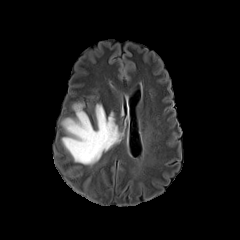
FLAIR MR.
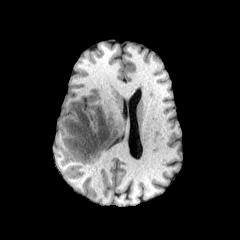
T1-weighted MR image.
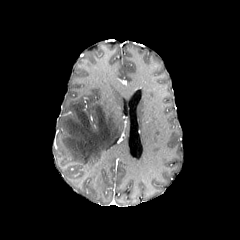
Same slice, post-contrast T1-weighted MRI.
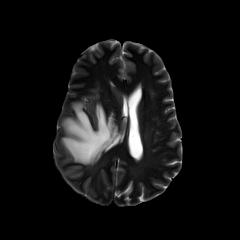
Same slice, T2-weighted MR image.
Head. 240x240.
Findings:
• peritumoral edema: x1=62 y1=103 x2=120 y2=164